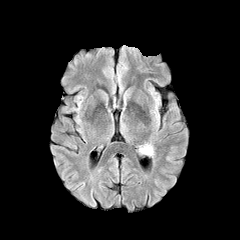
FLAIR magnetic resonance.
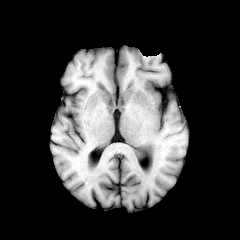
T1-weighted MRI.
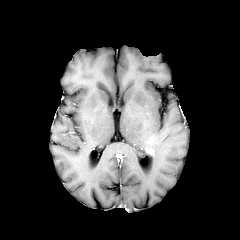
Same slice, post-contrast T1-weighted MR.
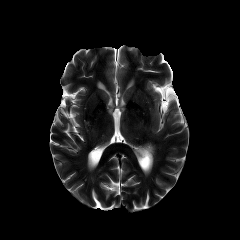
T2-weighted MR image.
240x240
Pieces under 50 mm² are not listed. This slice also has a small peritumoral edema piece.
enhancing tumor = <box>143,134,159,154</box>